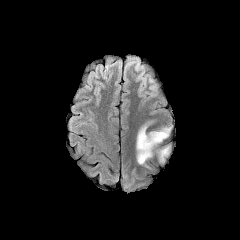
FLAIR MRI.
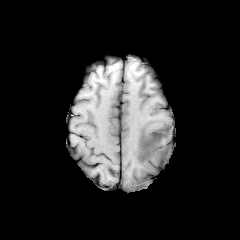
Same slice, T1-weighted magnetic resonance.
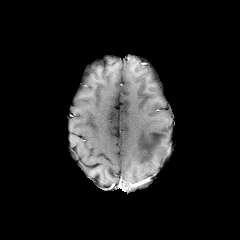
Post-contrast T1-weighted magnetic resonance.
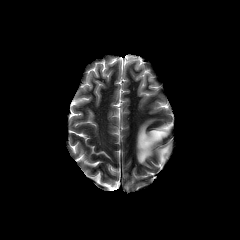
T2-weighted MRI.
peritumoral edema: bounding box region(136, 122, 172, 165)